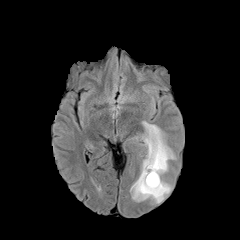
FLAIR MR.
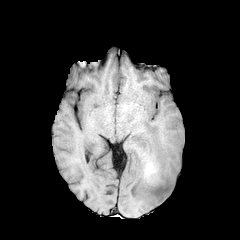
T1-weighted MR image of the same slice.
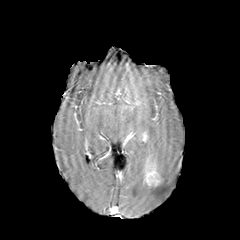
Same slice, post-contrast T1-weighted MR.
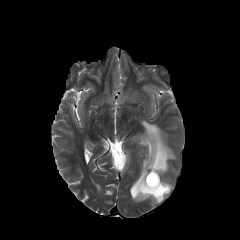
Same slice, T2-weighted MR.
Brain | Axial slice
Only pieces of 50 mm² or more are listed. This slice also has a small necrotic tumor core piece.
The peritumoral edema is at x1=130 y1=121 x2=175 y2=203. The enhancing tumor lies within x1=145 y1=170 x2=159 y2=186.